FLAIR magnetic resonance.
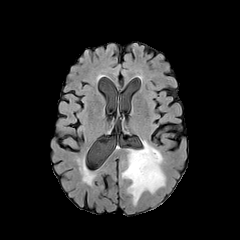
T1-weighted magnetic resonance.
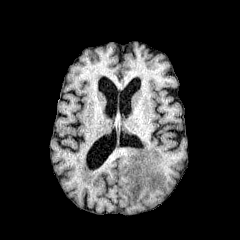
Post-contrast T1-weighted MR image.
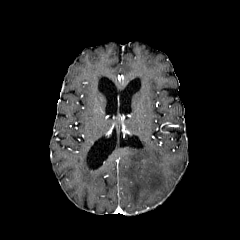
T2-weighted MR.
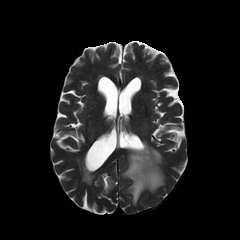
240x240 px. Head.
The peritumoral edema is bounded by rect(122, 141, 165, 204).